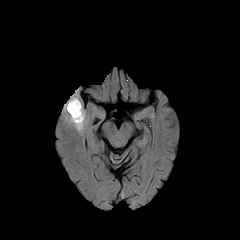
FLAIR MR.
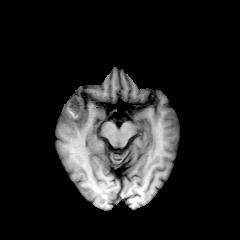
T1-weighted MR image.
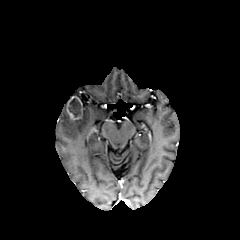
Same slice, post-contrast T1-weighted MR image.
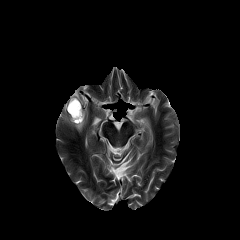
T2-weighted MR of the same slice.
Axial slice. Head. Image size 240x240.
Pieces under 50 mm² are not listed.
The largest enhancing tumor region lies within (x1=66, y1=96, x2=82, y2=120). The necrotic tumor core is at (x1=68, y1=98, x2=81, y2=117). The largest peritumoral edema region is located at (x1=63, y1=103, x2=86, y2=131).